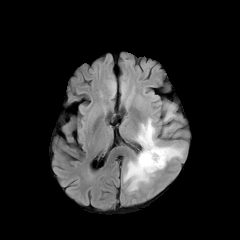
FLAIR MR.
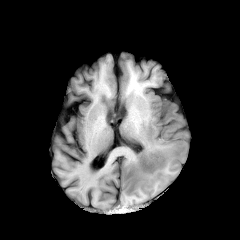
T1-weighted magnetic resonance.
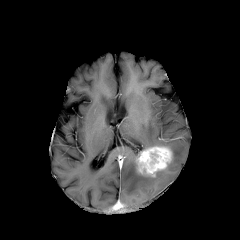
Post-contrast T1-weighted MR image.
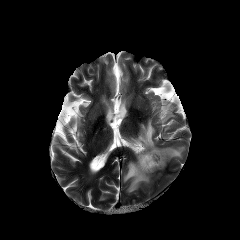
T2-weighted MR image.
Brain
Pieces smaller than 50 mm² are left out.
<segmentation>
  <peritumoral_edema>(x1=123, y1=161, x2=151, y2=192), (x1=135, y1=118, x2=157, y2=149), (x1=164, y1=104, x2=174, y2=121), (x1=158, y1=146, x2=184, y2=158)</peritumoral_edema>
  <enhancing_tumor>(x1=136, y1=146, x2=172, y2=176)</enhancing_tumor>
</segmentation>